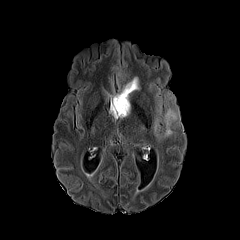
FLAIR MR image.
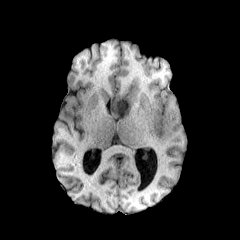
T1-weighted magnetic resonance.
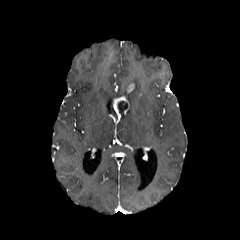
Post-contrast T1-weighted MR image of the same slice.
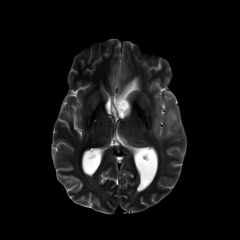
T2-weighted MR image.
Axial slice | Head
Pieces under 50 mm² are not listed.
Annotated regions:
* enhancing tumor: l=113, t=96, r=129, b=118; l=127, t=83, r=134, b=92
* necrotic tumor core: l=118, t=101, r=127, b=116
* peritumoral edema: l=113, t=83, r=129, b=101; l=154, t=108, r=178, b=136; l=131, t=77, r=139, b=90